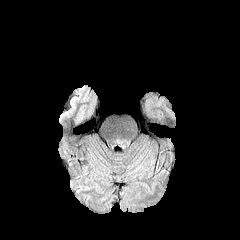
FLAIR MR.
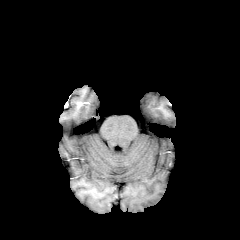
T1-weighted MR.
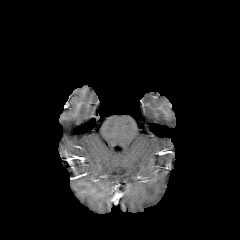
Post-contrast T1-weighted MR.
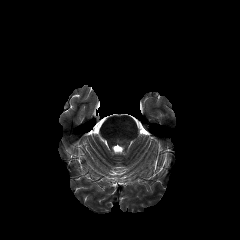
T2-weighted MR.
Axial view. Head.
{
  "peritumoral_edema": [
    "<bbox>117, 139, 129, 148</bbox>"
  ]
}